Head | Axial slice
FLAIR MR.
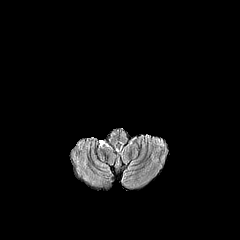
T1-weighted MR.
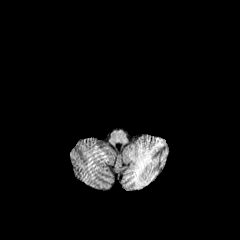
Post-contrast T1-weighted MRI.
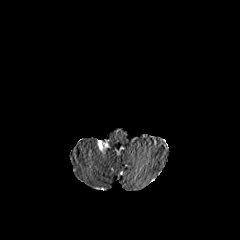
T2-weighted magnetic resonance.
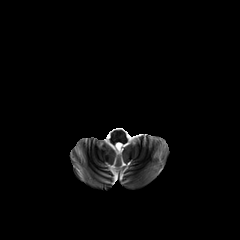
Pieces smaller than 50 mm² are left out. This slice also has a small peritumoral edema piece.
The largest enhancing tumor region is bounded by (98, 140, 108, 151).